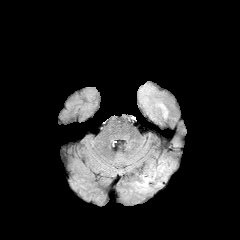
FLAIR MRI.
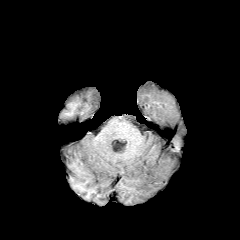
Same slice, T1-weighted magnetic resonance.
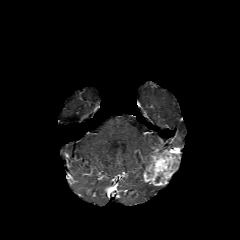
Same slice, post-contrast T1-weighted MRI.
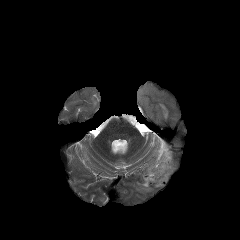
T2-weighted magnetic resonance.
Head
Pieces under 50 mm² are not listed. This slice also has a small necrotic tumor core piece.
peritumoral_edema:
  - (x1=133, y1=175, x2=151, y2=192)
  - (x1=158, y1=103, x2=167, y2=118)
enhancing_tumor:
  - (x1=143, y1=147, x2=179, y2=186)